Axial view, Head, Slice 104/155
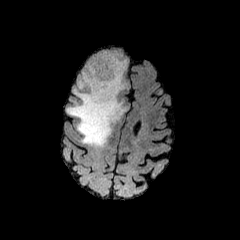
FLAIR MR.
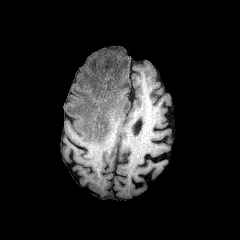
T1-weighted MR.
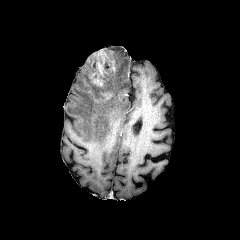
Post-contrast T1-weighted MR image of the same slice.
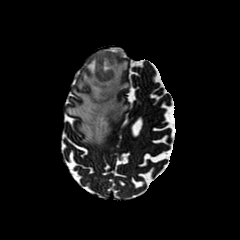
T2-weighted MRI of the same slice.
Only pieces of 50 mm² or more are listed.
peritumoral edema: rect(66, 49, 127, 146) | enhancing tumor: rect(87, 50, 117, 98) | necrotic tumor core: rect(104, 60, 109, 71)